Slice 125 of 155. Image covers 240 mm x 240 mm. Axial view.
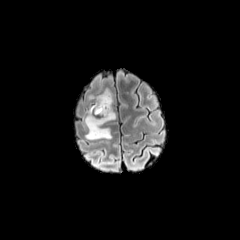
FLAIR MR.
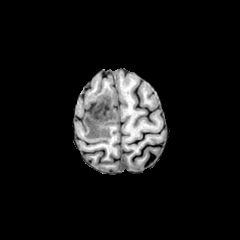
Same slice, T1-weighted MRI.
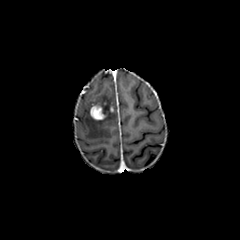
Same slice, post-contrast T1-weighted magnetic resonance.
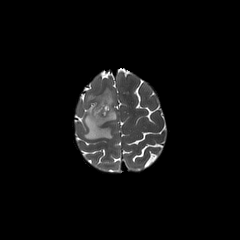
T2-weighted MR of the same slice.
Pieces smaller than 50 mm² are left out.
peritumoral_edema:
  - 83:88:116:139
enhancing_tumor:
  - 90:103:107:120